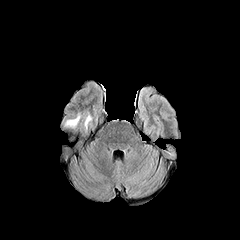
FLAIR magnetic resonance.
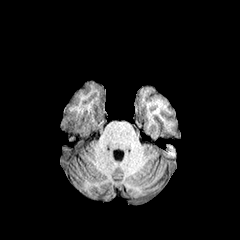
T1-weighted MRI of the same slice.
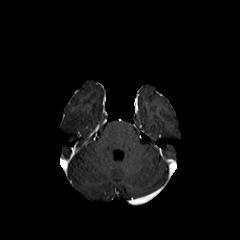
Post-contrast T1-weighted MR of the same slice.
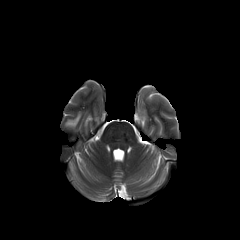
T2-weighted magnetic resonance.
Brain
peritumoral edema: 64, 113, 81, 128; 84, 114, 91, 126